240x240.
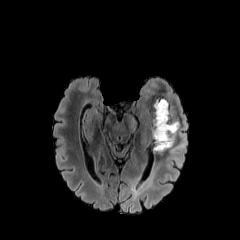
FLAIR magnetic resonance.
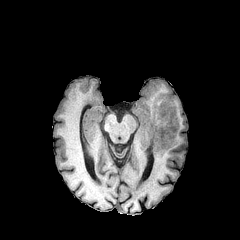
T1-weighted MR image.
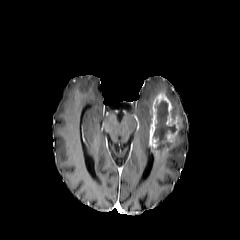
Same slice, post-contrast T1-weighted MRI.
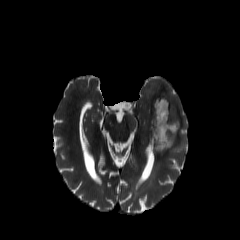
T2-weighted MR.
<segmentation>
  <necrotic_tumor_core>(left=154, top=101, right=176, bottom=149)</necrotic_tumor_core>
  <peritumoral_edema>(left=149, top=89, right=188, bottom=162)</peritumoral_edema>
  <enhancing_tumor>(left=149, top=93, right=179, bottom=153)</enhancing_tumor>
</segmentation>